FLAIR MR.
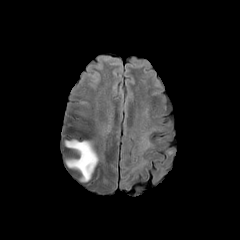
T1-weighted MR.
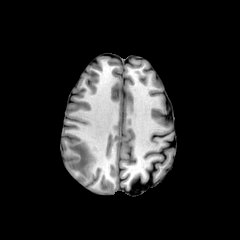
Post-contrast T1-weighted MR image.
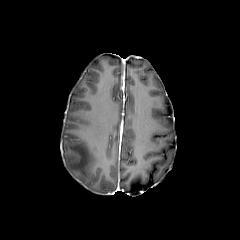
T2-weighted magnetic resonance.
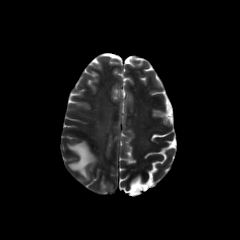
Brain.
peritumoral edema: box(64, 139, 97, 181)